240x240 px, Axial slice
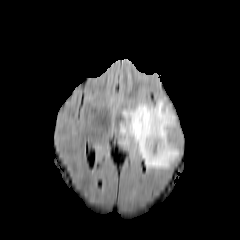
FLAIR magnetic resonance.
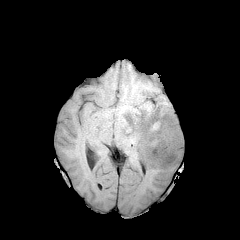
T1-weighted MR.
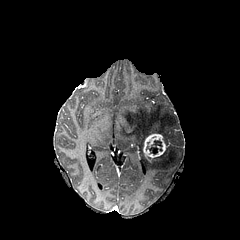
Post-contrast T1-weighted MR.
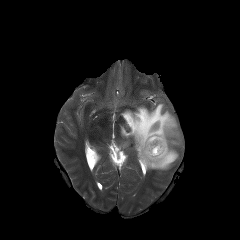
T2-weighted MR image.
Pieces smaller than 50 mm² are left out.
peritumoral_edema:
  - box=[120, 99, 180, 169]
necrotic_tumor_core:
  - box=[147, 140, 162, 154]
enhancing_tumor:
  - box=[143, 133, 167, 161]